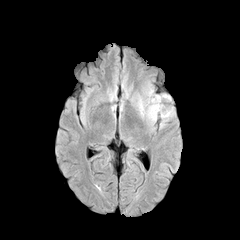
FLAIR magnetic resonance.
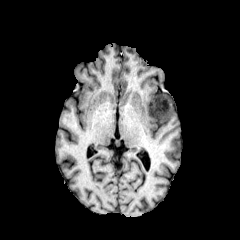
T1-weighted MR image of the same slice.
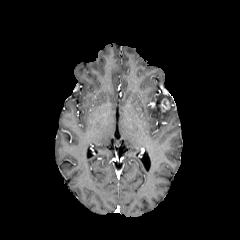
Post-contrast T1-weighted magnetic resonance.
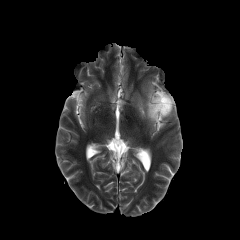
T2-weighted MR.
Head
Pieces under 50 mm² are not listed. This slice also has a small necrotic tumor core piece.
The largest enhancing tumor region appears at <box>159,98,170,111</box>. The largest peritumoral edema region is at <box>138,94,172,121</box>.